FLAIR magnetic resonance.
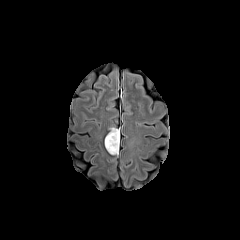
T1-weighted MR image.
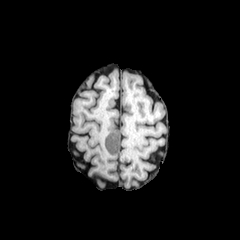
Post-contrast T1-weighted MRI.
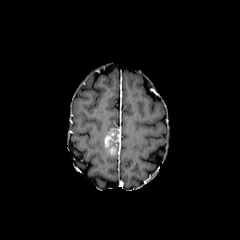
T2-weighted MR.
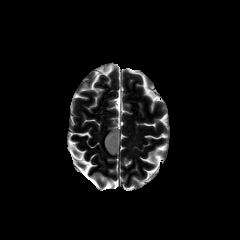
Axial view | 240x240 px
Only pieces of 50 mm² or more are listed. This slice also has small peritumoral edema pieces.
<segmentation>
  <enhancing_tumor>104 128 120 154</enhancing_tumor>
  <necrotic_tumor_core>109 140 118 153</necrotic_tumor_core>
</segmentation>